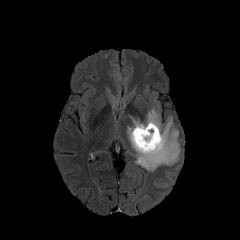
FLAIR MR.
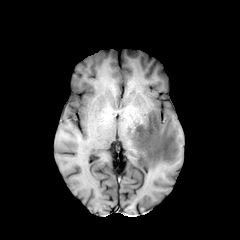
Same slice, T1-weighted MRI.
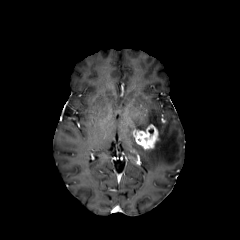
Post-contrast T1-weighted magnetic resonance.
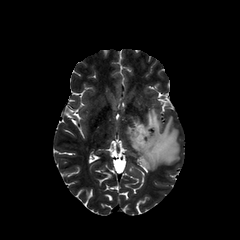
T2-weighted MR image.
Brain
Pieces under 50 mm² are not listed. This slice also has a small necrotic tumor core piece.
Findings:
• enhancing tumor: x1=133, y1=124, x2=158, y2=149
• peritumoral edema: x1=127, y1=108, x2=180, y2=171